Brain | Slice 45 of 155 | 240x240
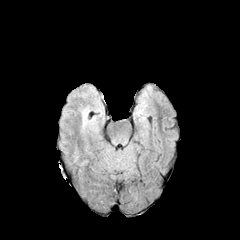
FLAIR MR.
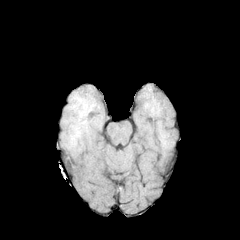
T1-weighted MR.
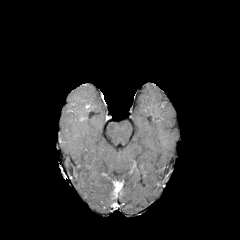
Post-contrast T1-weighted MR image of the same slice.
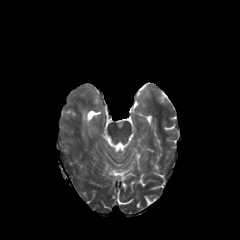
T2-weighted MR image.
<segmentation>
  <peritumoral_edema>{"x1": 82, "y1": 109, "x2": 88, "y2": 125}</peritumoral_edema>
</segmentation>